Axial view; Head; Slice index 115
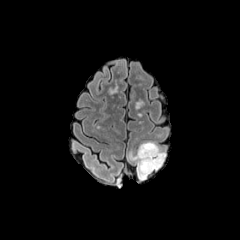
FLAIR MRI.
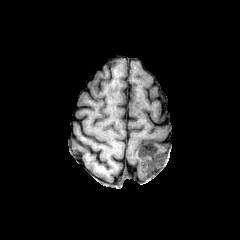
Same slice, T1-weighted MR.
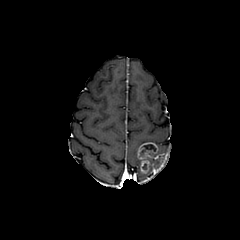
Post-contrast T1-weighted magnetic resonance.
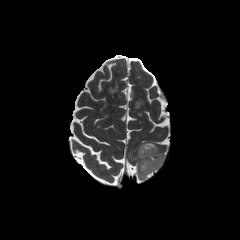
T2-weighted MRI.
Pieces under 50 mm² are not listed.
Findings:
* enhancing tumor: (x1=137, y1=142, x2=161, y2=173)
* necrotic tumor core: (x1=140, y1=144, x2=156, y2=156)
* peritumoral edema: (x1=128, y1=151, x2=163, y2=179)